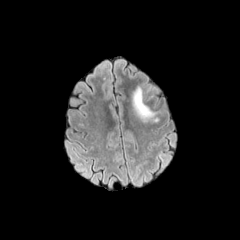
FLAIR MR.
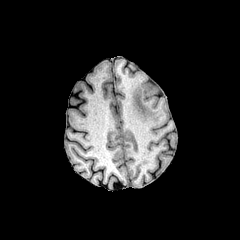
T1-weighted MR image.
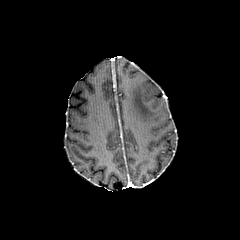
Post-contrast T1-weighted MR image of the same slice.
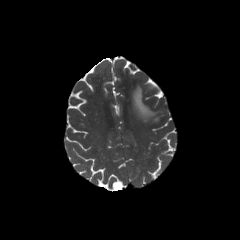
T2-weighted magnetic resonance.
Axial view.
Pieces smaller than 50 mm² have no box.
The largest peritumoral edema region is bounded by box(133, 87, 155, 120).